Head | Slice 114/155 | Image covers 240 mm x 240 mm | Axial plane
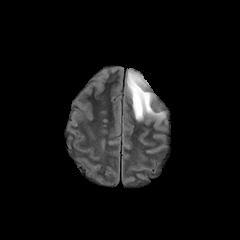
FLAIR MR.
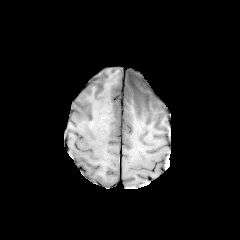
Same slice, T1-weighted magnetic resonance.
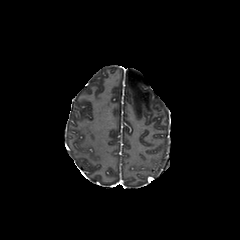
Same slice, post-contrast T1-weighted MR.
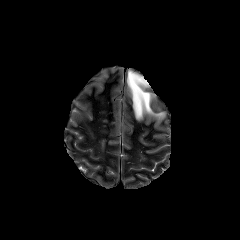
Same slice, T2-weighted MRI.
peritumoral_edema:
  - 127, 70, 164, 120